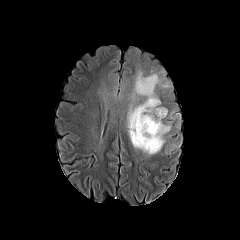
FLAIR MR.
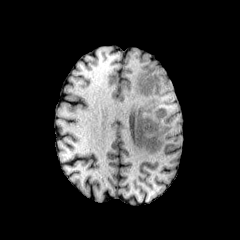
T1-weighted MRI.
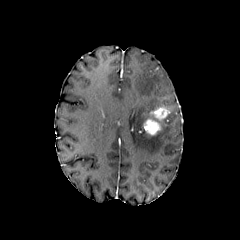
Post-contrast T1-weighted magnetic resonance.
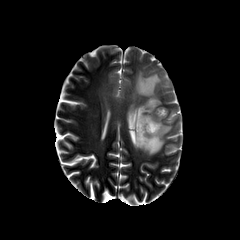
Same slice, T2-weighted MR image.
Head
The peritumoral edema lies within [x1=127, y1=71, x2=170, y2=155]. The enhancing tumor is located at [x1=142, y1=107, x2=168, y2=135].